FLAIR MR.
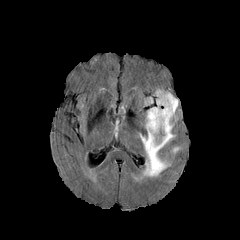
T1-weighted magnetic resonance.
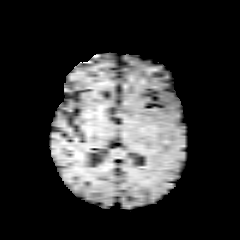
Post-contrast T1-weighted MR image.
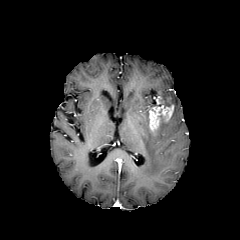
T2-weighted MR image.
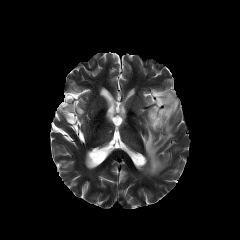
Axial view
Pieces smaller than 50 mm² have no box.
Annotated regions:
* enhancing tumor: 149:92:173:131
* peritumoral edema: 140:89:178:176